FLAIR magnetic resonance.
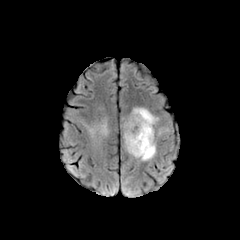
T1-weighted MR image.
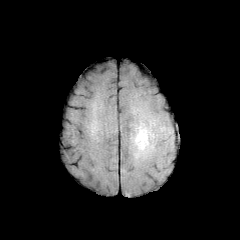
Post-contrast T1-weighted MRI.
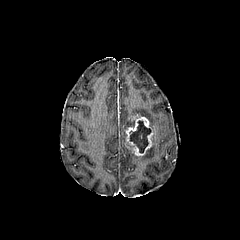
T2-weighted MRI.
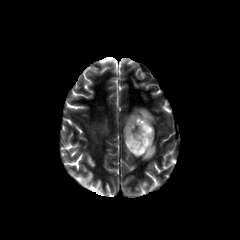
Image size 240x240. Axial view.
The enhancing tumor is at (left=124, top=114, right=153, bottom=155). The necrotic tumor core is at (left=130, top=120, right=151, bottom=153). 2 peritumoral edema regions are located at (left=123, top=107, right=158, bottom=160), (left=101, top=123, right=108, bottom=134).